Image width 240 mm, 1.00 mm slice spacing
FLAIR MR.
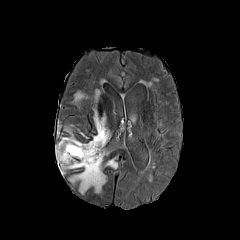
T1-weighted MRI.
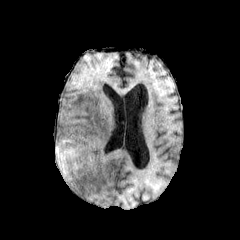
Post-contrast T1-weighted MR image.
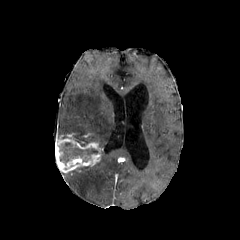
T2-weighted MR.
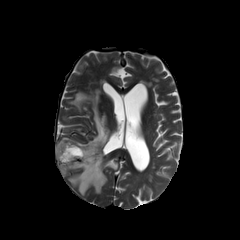
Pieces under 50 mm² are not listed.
<segmentation>
  <necrotic_tumor_core>{"x1": 60, "y1": 142, "x2": 98, "y2": 164}</necrotic_tumor_core>
  <enhancing_tumor>{"x1": 55, "y1": 138, "x2": 102, "y2": 173}</enhancing_tumor>
  <peritumoral_edema>{"x1": 75, "y1": 93, "x2": 84, "y2": 101}, {"x1": 91, "y1": 108, "x2": 108, "y2": 149}, {"x1": 104, "y1": 159, "x2": 117, "y2": 168}, {"x1": 69, "y1": 152, "x2": 105, "y2": 194}</peritumoral_edema>
</segmentation>